240x240 px, Brain
FLAIR MR image.
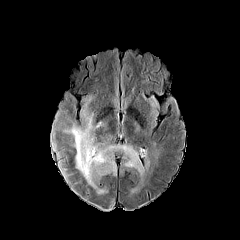
T1-weighted MR.
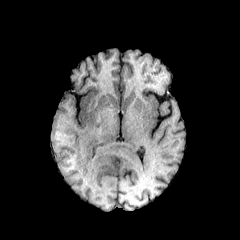
Post-contrast T1-weighted magnetic resonance.
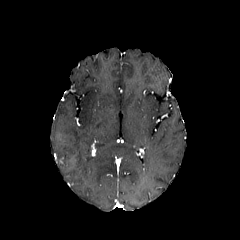
T2-weighted magnetic resonance.
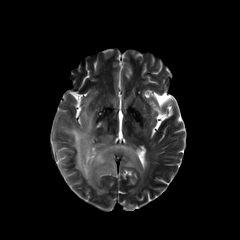
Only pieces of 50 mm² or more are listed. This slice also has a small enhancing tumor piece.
<segmentation>
  <peritumoral_edema>(left=56, top=150, right=71, bottom=170), (left=59, top=108, right=141, bottom=193)</peritumoral_edema>
</segmentation>